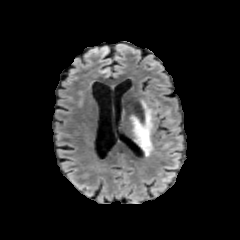
FLAIR MR image.
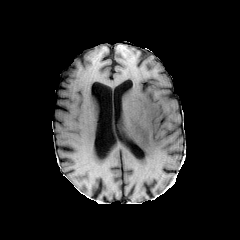
T1-weighted MR image.
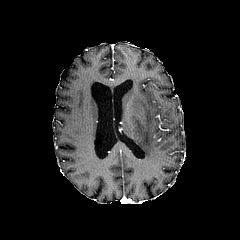
Post-contrast T1-weighted MR.
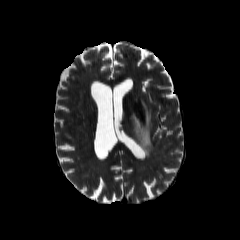
T2-weighted MRI.
Axial plane.
peritumoral_edema:
  - rect(121, 100, 152, 155)